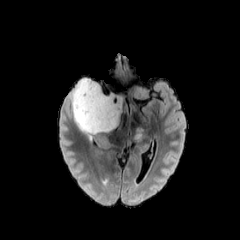
FLAIR MR.
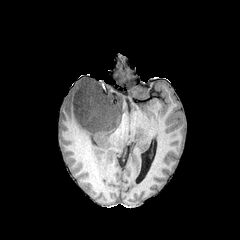
T1-weighted MRI of the same slice.
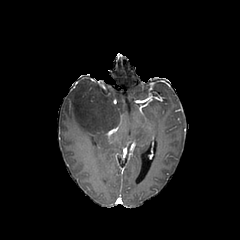
Post-contrast T1-weighted magnetic resonance of the same slice.
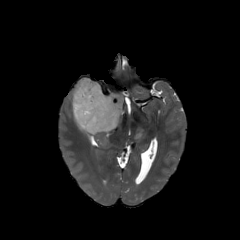
T2-weighted magnetic resonance.
Head
Annotated regions:
- peritumoral edema: [71,76,126,141], [129,127,146,144]